Head | Image size 240x240 | Slice 86 of 155
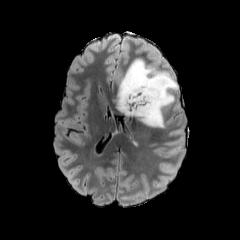
FLAIR MRI.
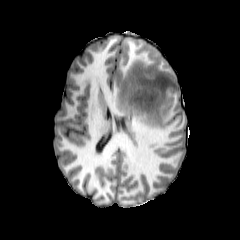
Same slice, T1-weighted MR.
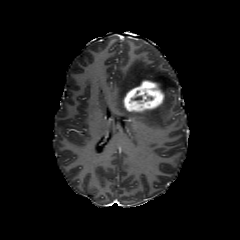
Same slice, post-contrast T1-weighted MR image.
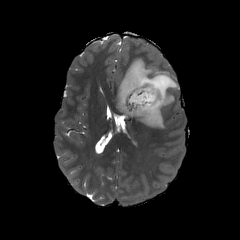
T2-weighted magnetic resonance.
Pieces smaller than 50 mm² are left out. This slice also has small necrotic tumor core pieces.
The enhancing tumor is located at rect(123, 79, 164, 112). The largest peritumoral edema region lies within rect(111, 57, 177, 128).